Image width 240 mm, 1.00 mm slice spacing | Axial slice
FLAIR MR image.
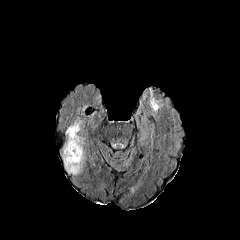
T1-weighted magnetic resonance.
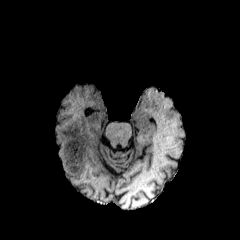
Post-contrast T1-weighted MRI.
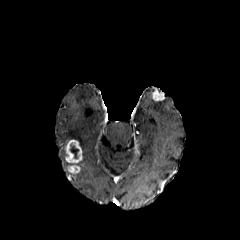
T2-weighted MR.
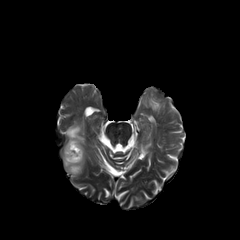
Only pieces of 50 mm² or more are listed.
peritumoral edema — box(62, 122, 85, 175)
necrotic tumor core — box(69, 143, 79, 159)
enhancing tumor — box(69, 166, 79, 172); box(66, 140, 81, 163)